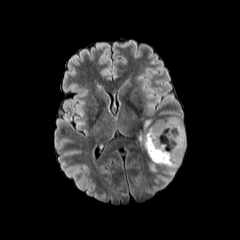
FLAIR MR image.
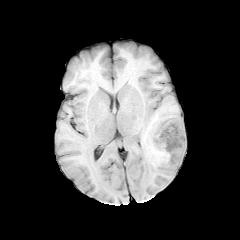
T1-weighted MR image.
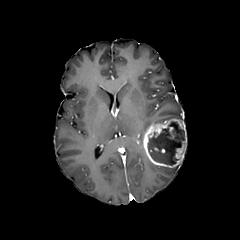
Post-contrast T1-weighted MR image of the same slice.
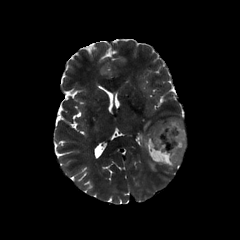
T2-weighted MR.
Head
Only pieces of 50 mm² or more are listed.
necrotic tumor core: 147 121 184 165 | enhancing tumor: 142 118 186 167 | peritumoral edema: 162 166 178 171, 153 117 178 123, 150 163 157 171